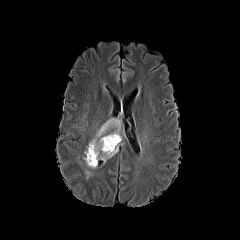
FLAIR MRI.
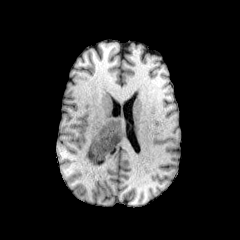
T1-weighted magnetic resonance of the same slice.
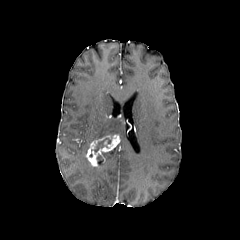
Post-contrast T1-weighted MR image of the same slice.
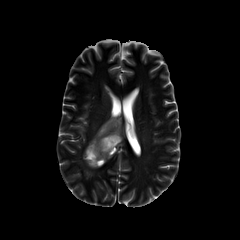
T2-weighted magnetic resonance.
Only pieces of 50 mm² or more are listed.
peritumoral edema: bounding box <box>97,144,118,161</box>, <box>92,118,121,140</box>
enhancing tumor: bounding box <box>86,134,120,166</box>
necrotic tumor core: bounding box <box>94,138,111,152</box>